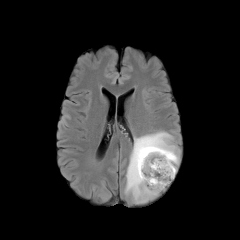
FLAIR magnetic resonance.
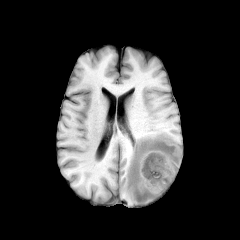
T1-weighted MR of the same slice.
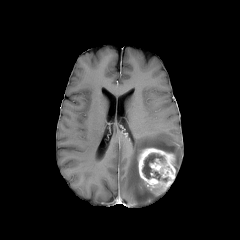
Post-contrast T1-weighted MR.
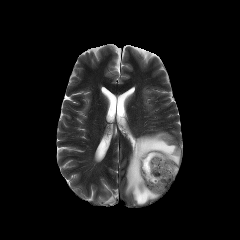
T2-weighted magnetic resonance.
Brain; 240x240 px
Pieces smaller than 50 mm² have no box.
peritumoral_edema:
  - (x1=125, y1=131, x2=180, y2=206)
necrotic_tumor_core:
  - (x1=142, y1=153, x2=163, y2=180)
enhancing_tumor:
  - (x1=138, y1=148, x2=175, y2=194)